Axial slice, Brain, Image width 240 mm
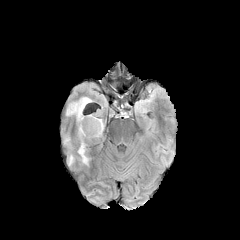
FLAIR MR image.
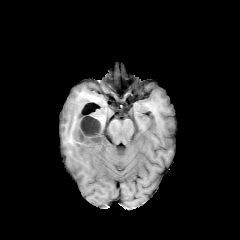
T1-weighted MRI of the same slice.
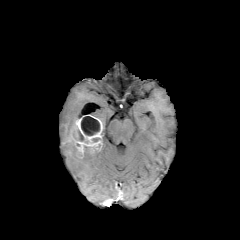
Same slice, post-contrast T1-weighted MR.
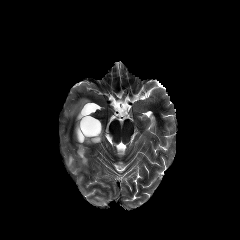
Same slice, T2-weighted MRI.
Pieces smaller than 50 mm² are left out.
Findings:
• necrotic tumor core: 72, 129, 84, 141; 81, 116, 99, 135
• enhancing tumor: 70, 115, 103, 153
• peritumoral edema: 77, 146, 92, 165; 66, 97, 89, 116; 66, 155, 74, 165